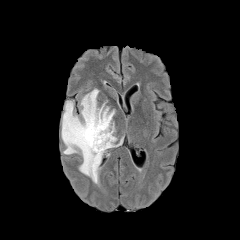
FLAIR MR.
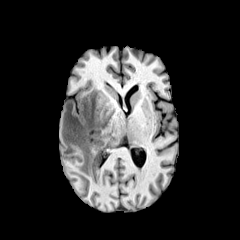
T1-weighted MRI.
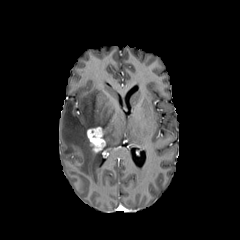
Post-contrast T1-weighted MR image of the same slice.
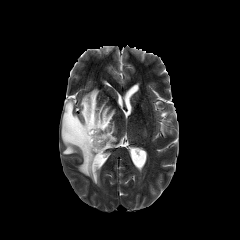
T2-weighted magnetic resonance of the same slice.
Axial slice | Brain
Annotated regions:
• peritumoral edema: x1=61, y1=89, x2=122, y2=184
• enhancing tumor: x1=87, y1=127, x2=105, y2=152